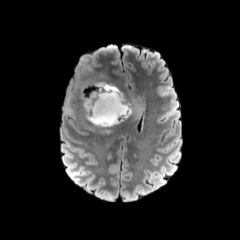
FLAIR magnetic resonance.
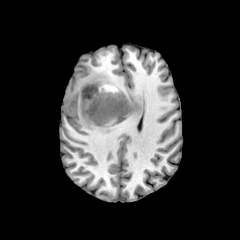
T1-weighted MR.
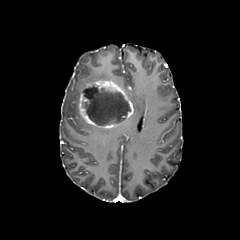
Post-contrast T1-weighted magnetic resonance of the same slice.
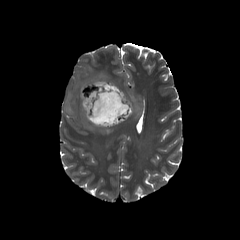
T2-weighted MRI.
Head; Axial plane; 240x240 px
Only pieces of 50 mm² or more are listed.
peritumoral edema: [x1=130, y1=96, x2=144, y2=119] | enhancing tumor: [x1=78, y1=80, x2=136, y2=128] | necrotic tumor core: [x1=82, y1=86, x2=130, y2=125]